Axial plane. Slice index 52. 240x240. Image width 240 mm.
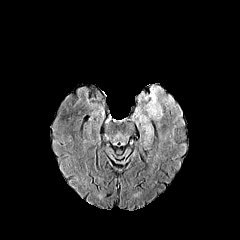
FLAIR MR image.
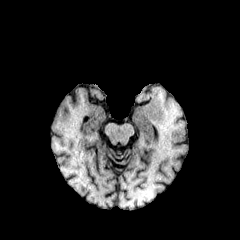
T1-weighted MR of the same slice.
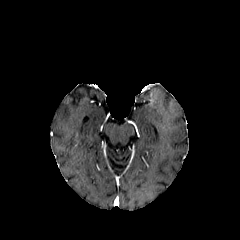
Same slice, post-contrast T1-weighted MRI.
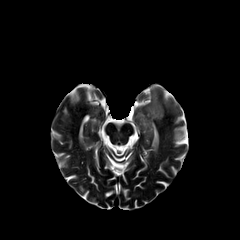
Same slice, T2-weighted MR.
Annotated regions:
- peritumoral edema: 147 89 162 118